Slice 93 of 155
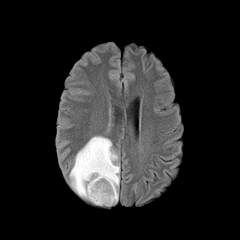
FLAIR magnetic resonance.
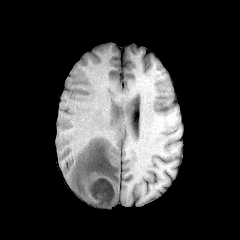
T1-weighted MRI.
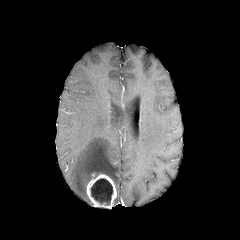
Post-contrast T1-weighted magnetic resonance.
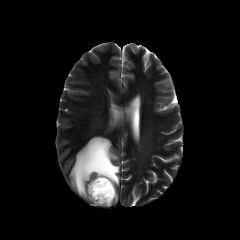
T2-weighted MRI of the same slice.
peritumoral_edema:
  - <bbox>69, 136, 119, 203</bbox>
necrotic_tumor_core:
  - <bbox>91, 178, 112, 205</bbox>
enhancing_tumor:
  - <bbox>86, 174, 116, 207</bbox>